240x240 px
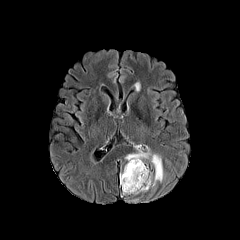
FLAIR MR image.
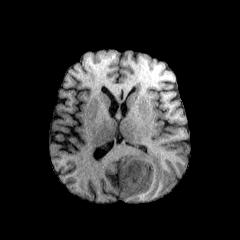
T1-weighted magnetic resonance.
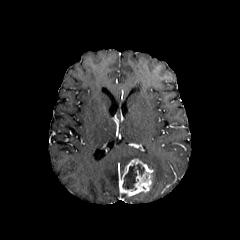
Post-contrast T1-weighted MRI.
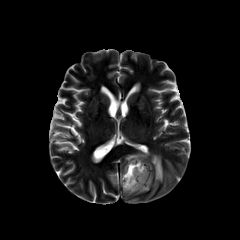
T2-weighted MR.
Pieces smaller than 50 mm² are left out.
<segmentation>
  <enhancing_tumor>bbox(121, 158, 153, 195)</enhancing_tumor>
  <necrotic_tumor_core>bbox(123, 164, 144, 189)</necrotic_tumor_core>
  <peritumoral_edema>bbox(125, 148, 163, 187)</peritumoral_edema>
</segmentation>